FLAIR MR image.
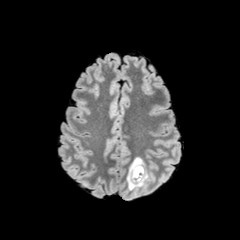
T1-weighted MR.
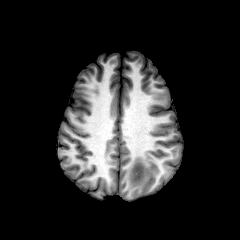
Post-contrast T1-weighted magnetic resonance.
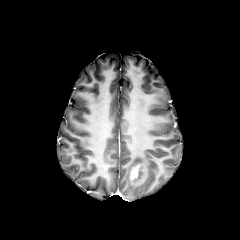
T2-weighted MRI.
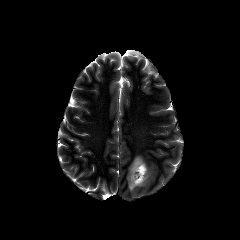
Image size 240x240, Axial view, Head
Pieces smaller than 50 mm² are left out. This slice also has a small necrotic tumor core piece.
enhancing tumor = bbox=[130, 164, 146, 185]
peritumoral edema = bbox=[127, 157, 149, 190]